FLAIR magnetic resonance.
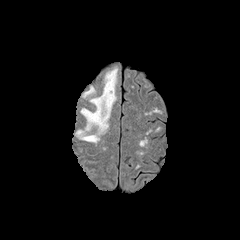
T1-weighted MRI.
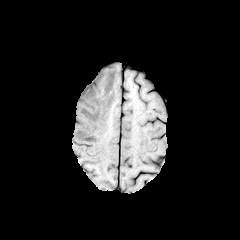
Post-contrast T1-weighted MR.
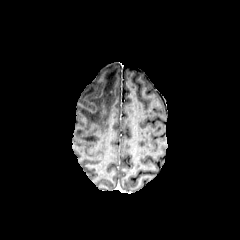
T2-weighted MRI.
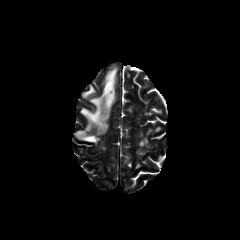
peritumoral edema: bounding box 75, 67, 117, 143